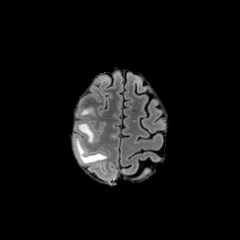
FLAIR MRI.
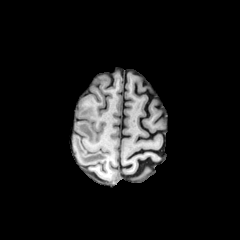
Same slice, T1-weighted MR.
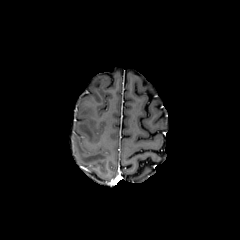
Post-contrast T1-weighted magnetic resonance.
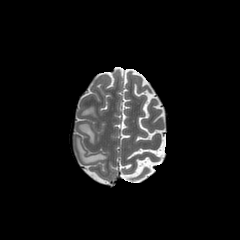
T2-weighted magnetic resonance of the same slice.
Axial plane
peritumoral edema = left=78, top=123, right=94, bottom=142; left=75, top=138, right=106, bottom=163; left=81, top=108, right=93, bottom=114